Axial view | Slice index 64
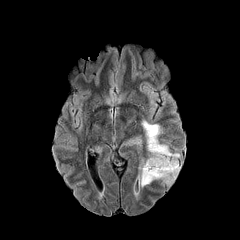
FLAIR MRI.
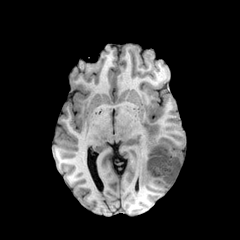
T1-weighted magnetic resonance.
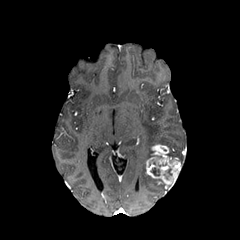
Post-contrast T1-weighted MR image.
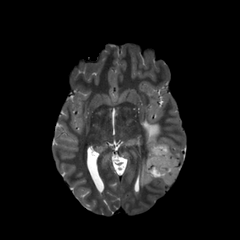
T2-weighted magnetic resonance of the same slice.
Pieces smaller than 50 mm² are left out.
peritumoral edema: box(138, 160, 160, 187); box(167, 152, 180, 157); box(141, 121, 161, 157) | enhancing tumor: box(146, 144, 181, 186) | necrotic tumor core: box(151, 167, 159, 175)